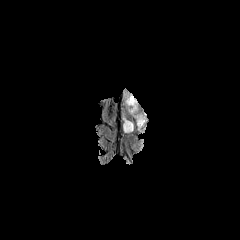
FLAIR MRI.
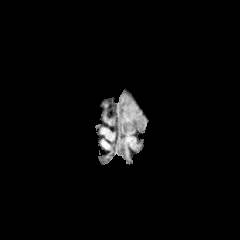
T1-weighted MR.
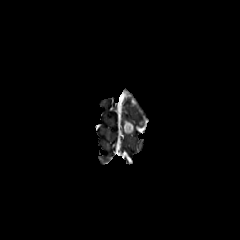
Post-contrast T1-weighted MR image of the same slice.
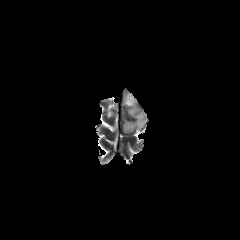
T2-weighted magnetic resonance.
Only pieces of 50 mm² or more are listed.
* peritumoral edema: x1=125, y1=96, x2=143, y2=127
* enhancing tumor: x1=124, y1=120, x2=133, y2=133